Brain.
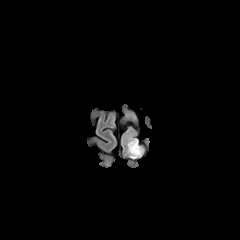
FLAIR MR image.
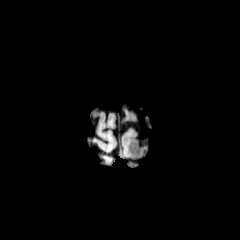
T1-weighted MRI.
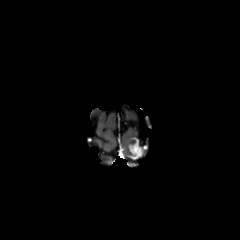
Post-contrast T1-weighted MRI.
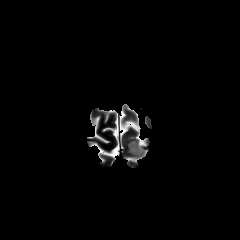
Same slice, T2-weighted MRI.
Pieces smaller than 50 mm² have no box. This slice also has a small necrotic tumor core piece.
<segmentation>
  <enhancing_tumor>[128,137,144,158]</enhancing_tumor>
  <peritumoral_edema>[122,129,135,155]</peritumoral_edema>
</segmentation>